FLAIR MRI.
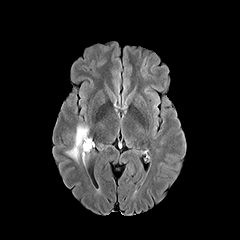
T1-weighted magnetic resonance.
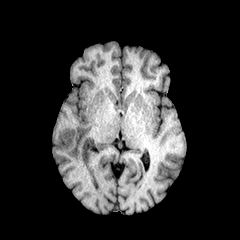
Post-contrast T1-weighted magnetic resonance.
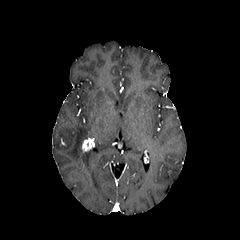
T2-weighted MRI.
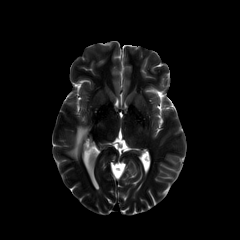
enhancing tumor: bounding box (left=82, top=138, right=94, bottom=151)
peritumoral edema: bounding box (left=141, top=70, right=148, bottom=78), (left=66, top=125, right=88, bottom=163)